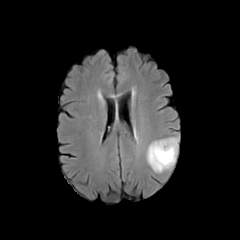
FLAIR MR image.
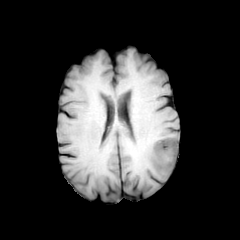
T1-weighted MR.
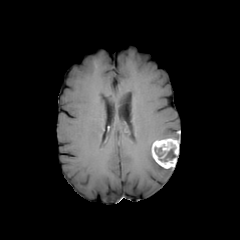
Post-contrast T1-weighted magnetic resonance.
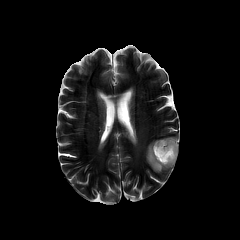
T2-weighted MRI.
Brain; 240x240 px; Axial plane
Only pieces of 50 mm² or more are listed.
necrotic tumor core: 155, 148, 164, 157; 159, 149, 175, 161 | enhancing tumor: 151, 138, 179, 168 | peritumoral edema: 146, 141, 171, 172